Slice 89 of 155, Head, Axial slice
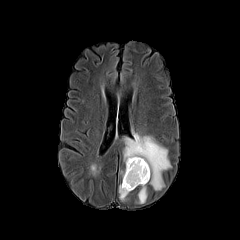
FLAIR magnetic resonance.
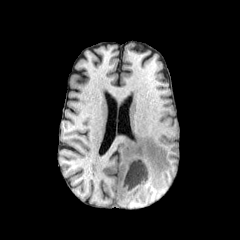
T1-weighted MRI.
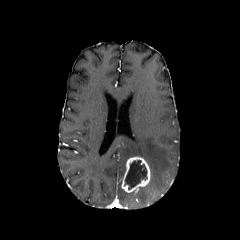
Same slice, post-contrast T1-weighted magnetic resonance.
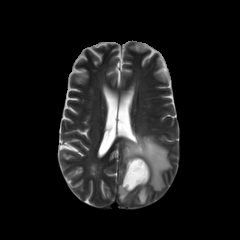
Same slice, T2-weighted MR.
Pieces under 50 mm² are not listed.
peritumoral edema: x1=138 y1=185 x2=147 y2=203, x1=123 y1=132 x2=171 y2=190, x1=119 y1=185 x2=129 y2=201
enhancing tumor: x1=121 y1=156 x2=150 y2=192
necrotic tumor core: x1=124 y1=160 x2=147 y2=189